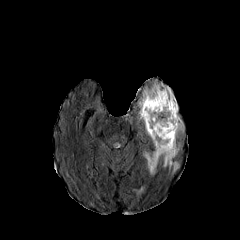
FLAIR MR.
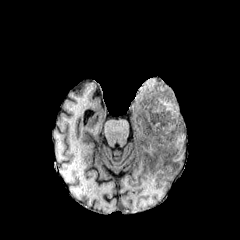
Same slice, T1-weighted MR image.
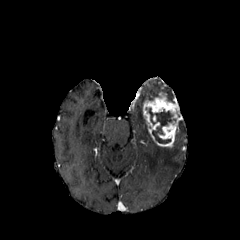
Post-contrast T1-weighted MRI.
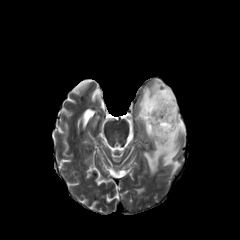
T2-weighted magnetic resonance.
Axial view, Image size 240x240, Head
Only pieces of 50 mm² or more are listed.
<segmentation>
  <necrotic_tumor_core>left=148, top=108, right=175, bottom=143</necrotic_tumor_core>
  <peritumoral_edema>left=134, top=186, right=144, bottom=195; left=179, top=121, right=184, bottom=132; left=138, top=83, right=173, bottom=135; left=143, top=134, right=179, bottom=175</peritumoral_edema>
  <enhancing_tumor>left=142, top=92, right=181, bottom=147</enhancing_tumor>
</segmentation>